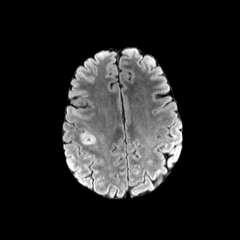
FLAIR MR.
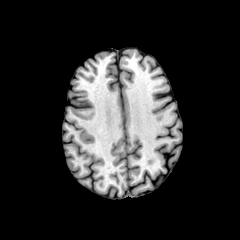
Same slice, T1-weighted MRI.
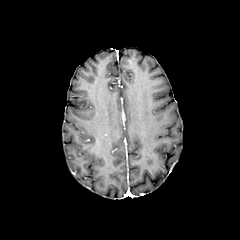
Post-contrast T1-weighted MR.
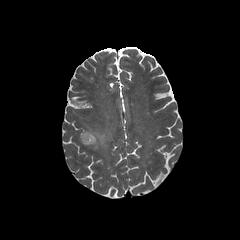
T2-weighted magnetic resonance.
<segmentation>
  <peritumoral_edema>region(81, 131, 96, 147)</peritumoral_edema>
</segmentation>